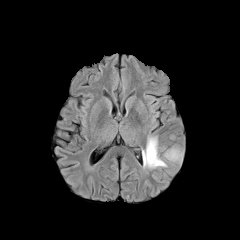
FLAIR magnetic resonance.
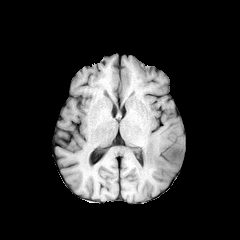
Same slice, T1-weighted magnetic resonance.
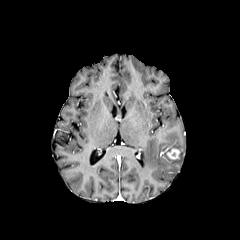
Post-contrast T1-weighted MR of the same slice.
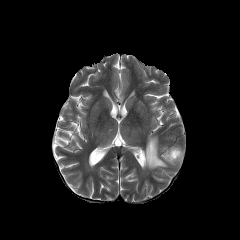
T2-weighted MRI.
Brain
Annotated regions:
- enhancing tumor: bbox=[166, 148, 180, 159]
- peritumoral edema: bbox=[142, 136, 182, 168]